FLAIR MRI.
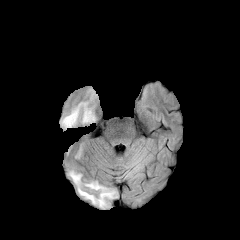
T1-weighted MR image.
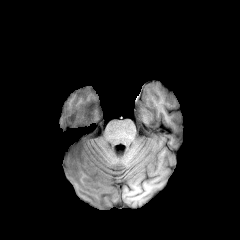
Post-contrast T1-weighted MR.
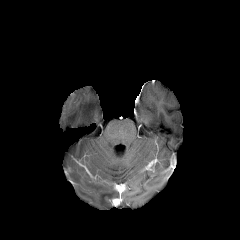
T2-weighted magnetic resonance.
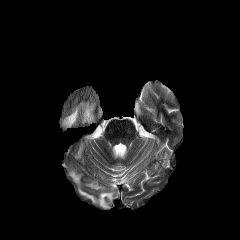
Image size 240x240.
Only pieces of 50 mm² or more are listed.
The 2 largest peritumoral edema regions are bounded by <box>69,171,117,207</box>, <box>61,102,95,128</box>.